240x240 px. Slice index 99.
FLAIR MR image.
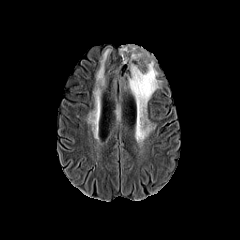
T1-weighted MR.
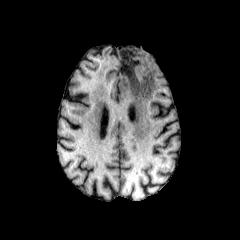
Post-contrast T1-weighted MR.
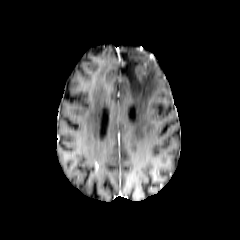
T2-weighted MR image.
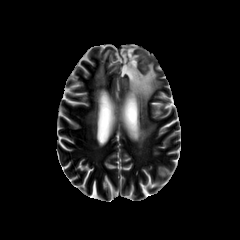
peritumoral edema: bounding box (120,45,160,141), (96,49,110,84), (90,88,99,127)